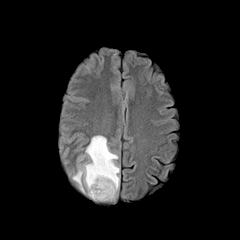
FLAIR magnetic resonance.
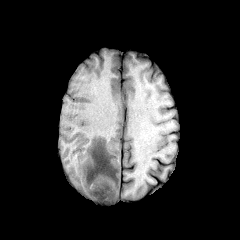
Same slice, T1-weighted MRI.
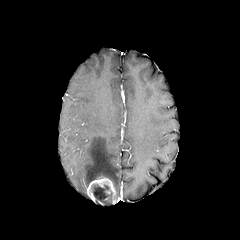
Post-contrast T1-weighted MR of the same slice.
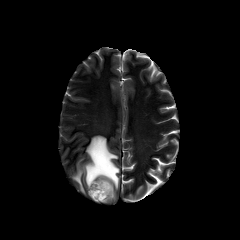
T2-weighted MR.
Head
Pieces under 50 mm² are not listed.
peritumoral edema: (left=72, top=135, right=119, bottom=193)
necrotic tumor core: (left=92, top=185, right=111, bottom=201)
enhancing tumor: (left=87, top=177, right=116, bottom=202)